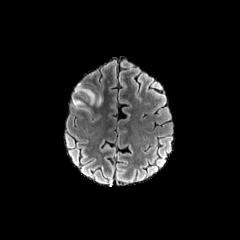
FLAIR MR.
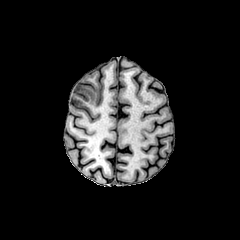
T1-weighted magnetic resonance of the same slice.
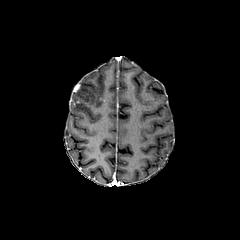
Same slice, post-contrast T1-weighted MR image.
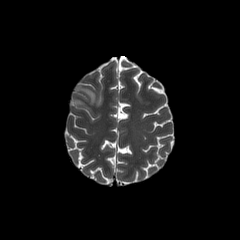
Same slice, T2-weighted MR.
Axial slice.
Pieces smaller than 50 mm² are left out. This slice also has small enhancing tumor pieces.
peritumoral edema = rect(74, 86, 95, 104); rect(73, 98, 83, 107)